FLAIR MR.
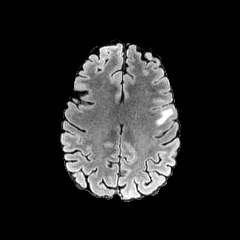
T1-weighted MR image.
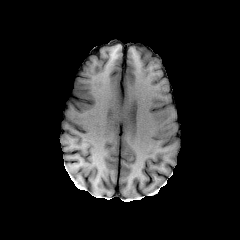
Post-contrast T1-weighted MR image.
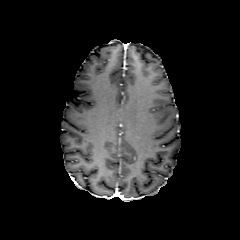
T2-weighted magnetic resonance.
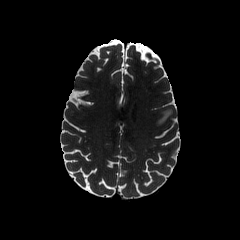
Axial plane. 240x240 px.
peritumoral edema = x1=156, y1=108, x2=172, y2=124